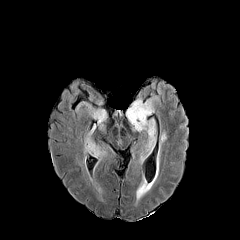
FLAIR MR.
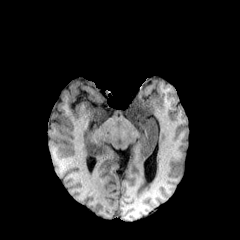
Same slice, T1-weighted MR.
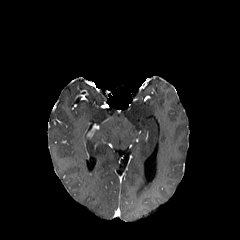
Post-contrast T1-weighted MR of the same slice.
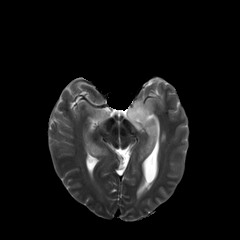
T2-weighted magnetic resonance of the same slice.
Brain
Segmented structures:
• peritumoral edema: 160 129 168 142, 127 98 156 160, 85 109 107 156